240x240 px; Brain
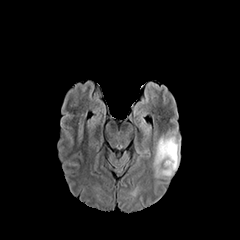
FLAIR magnetic resonance.
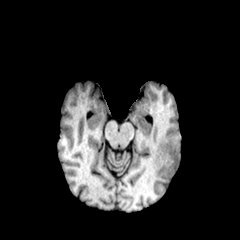
T1-weighted MRI.
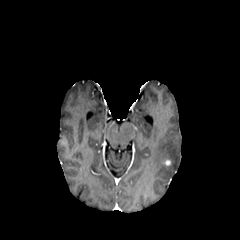
Same slice, post-contrast T1-weighted MRI.
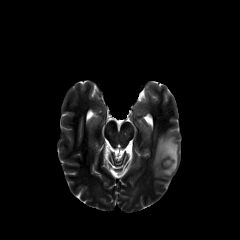
Same slice, T2-weighted MR image.
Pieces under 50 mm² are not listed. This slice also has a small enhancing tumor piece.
The peritumoral edema is bounded by [x1=154, y1=131, x2=180, y2=177].